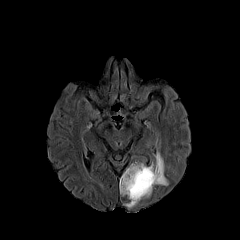
FLAIR magnetic resonance.
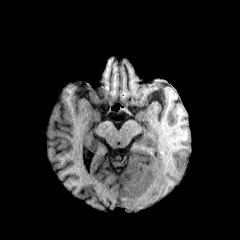
T1-weighted MRI of the same slice.
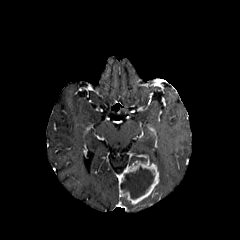
Post-contrast T1-weighted MR.
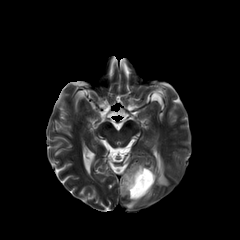
Same slice, T2-weighted MR.
240x240 px, Axial plane
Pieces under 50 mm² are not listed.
necrotic tumor core = x1=120 y1=166 x2=154 y2=198
enhancing tumor = x1=119 y1=161 x2=159 y2=204
peritumoral edema = x1=154 y1=151 x2=168 y2=185